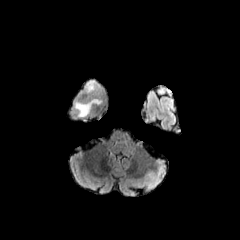
FLAIR magnetic resonance.
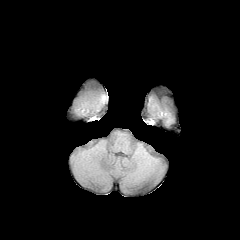
T1-weighted MR.
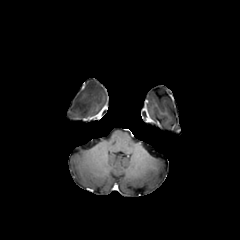
Post-contrast T1-weighted MR.
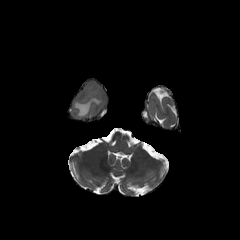
T2-weighted MRI of the same slice.
240x240 px
peritumoral edema at box(86, 81, 95, 91); box(74, 99, 102, 117)